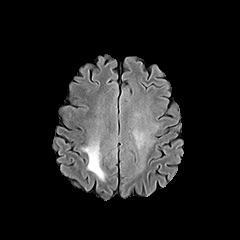
FLAIR magnetic resonance.
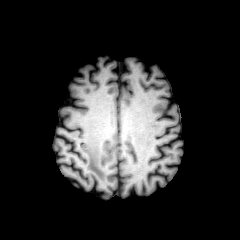
T1-weighted MR.
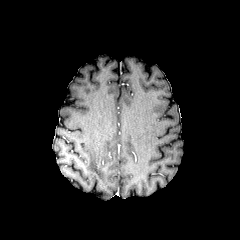
Same slice, post-contrast T1-weighted MR image.
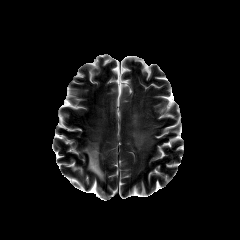
T2-weighted MRI.
Axial slice
peritumoral edema — bbox=[82, 139, 105, 180]